Brain; Axial view
FLAIR MR image.
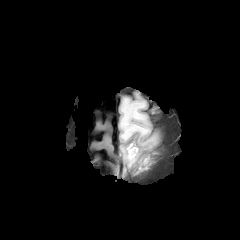
T1-weighted MR image.
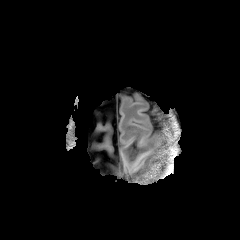
Post-contrast T1-weighted magnetic resonance.
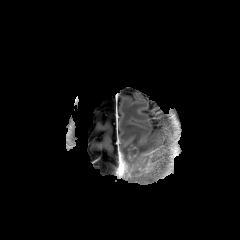
T2-weighted magnetic resonance.
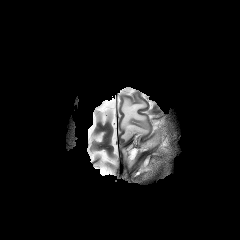
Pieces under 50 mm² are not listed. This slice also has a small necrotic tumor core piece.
{"peritumoral_edema": ["(x1=139, y1=156, x2=150, y2=167)", "(x1=120, y1=98, x2=149, y2=140)", "(x1=146, y1=137, x2=155, y2=146)", "(x1=122, y1=143, x2=138, y2=168)"], "enhancing_tumor": ["(x1=128, y1=146, x2=136, y2=160)", "(x1=139, y1=160, x2=150, y2=171)"]}